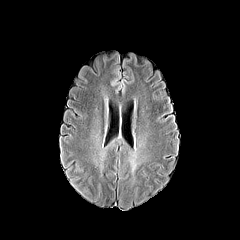
FLAIR MR.
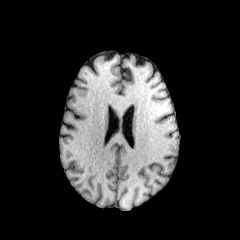
T1-weighted MRI.
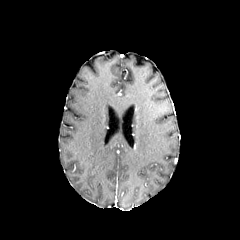
Post-contrast T1-weighted MR.
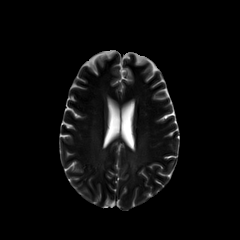
T2-weighted MR.
240x240 px. Brain.
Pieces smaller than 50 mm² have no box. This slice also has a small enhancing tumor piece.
The peritumoral edema is bounded by bbox(129, 153, 137, 172).